FLAIR MR.
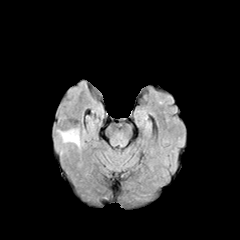
T1-weighted MR image.
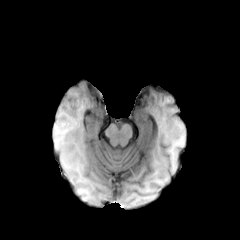
Post-contrast T1-weighted magnetic resonance.
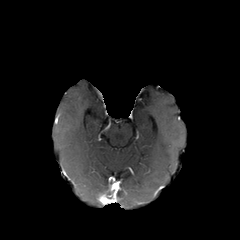
T2-weighted MR.
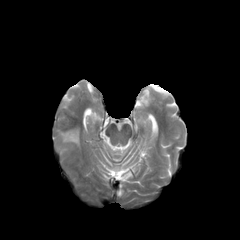
Image size 240x240
The peritumoral edema is bounded by (left=62, top=131, right=79, bottom=144).